Slice 125/155, Head, Image width 240 mm
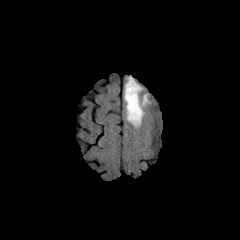
FLAIR MRI.
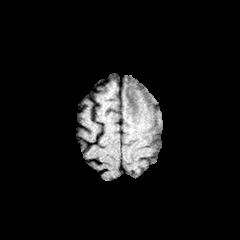
T1-weighted MR image of the same slice.
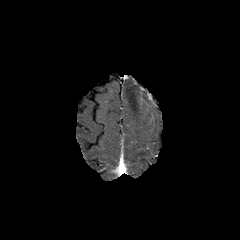
Post-contrast T1-weighted MR image.
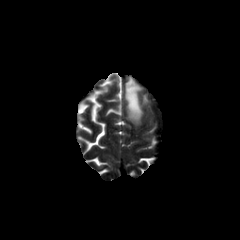
T2-weighted MRI of the same slice.
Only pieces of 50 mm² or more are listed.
peritumoral edema = <bbox>124, 78, 143, 126</bbox>